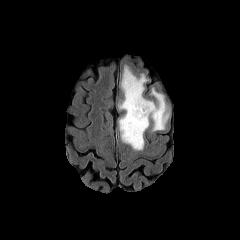
FLAIR MRI.
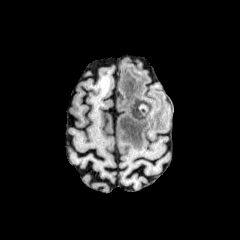
Same slice, T1-weighted MR.
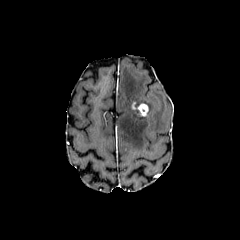
Post-contrast T1-weighted magnetic resonance of the same slice.
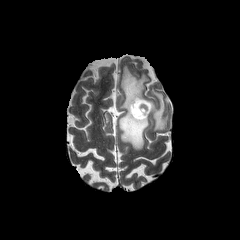
Same slice, T2-weighted MRI.
Image size 240x240, Head
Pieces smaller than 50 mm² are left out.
The largest enhancing tumor region lies within region(138, 109, 148, 117). The necrotic tumor core appears at region(133, 102, 148, 114). The peritumoral edema is located at region(119, 66, 168, 150).